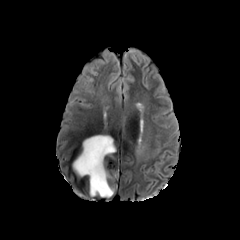
FLAIR MRI.
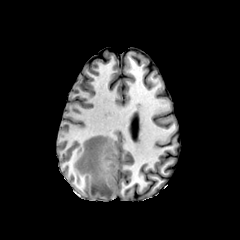
T1-weighted MR.
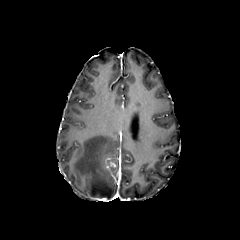
Same slice, post-contrast T1-weighted MR.
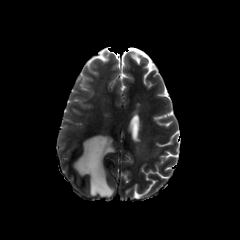
T2-weighted magnetic resonance.
Head. Axial view. 240x240 px.
{
  "peritumoral_edema": [
    "bbox=[73, 135, 115, 198]"
  ]
}